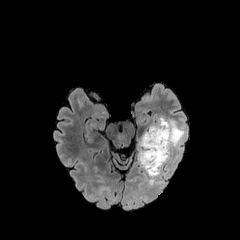
FLAIR magnetic resonance.
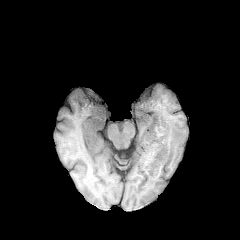
T1-weighted magnetic resonance.
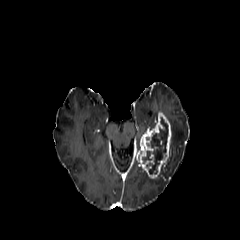
Post-contrast T1-weighted MR of the same slice.
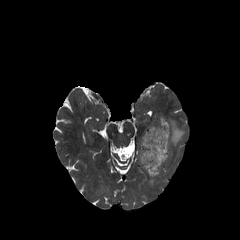
T2-weighted magnetic resonance.
Brain, Image size 240x240, Axial slice
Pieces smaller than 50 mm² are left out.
peritumoral edema: (x1=148, y1=169, x2=164, y2=185), (x1=166, y1=118, x2=185, y2=164) | enhancing tumor: (x1=137, y1=113, x2=171, y2=177) | necrotic tumor core: (x1=142, y1=117, x2=168, y2=174)